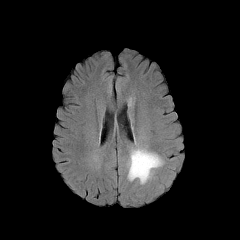
FLAIR MRI.
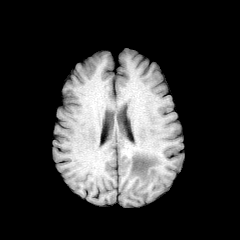
Same slice, T1-weighted MR.
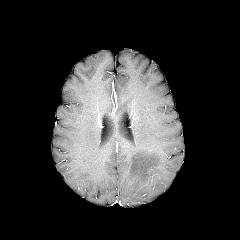
Post-contrast T1-weighted magnetic resonance of the same slice.
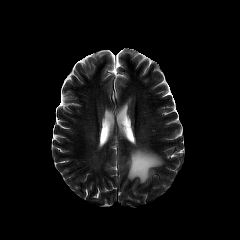
Same slice, T2-weighted MRI.
The peritumoral edema is located at [x1=128, y1=148, x2=163, y2=183].